Axial slice, Brain, Slice 83/155
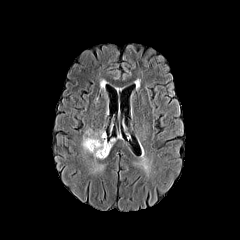
FLAIR MR.
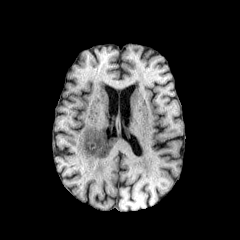
Same slice, T1-weighted magnetic resonance.
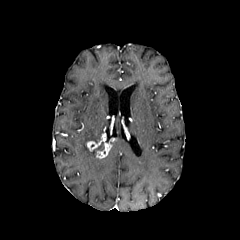
Same slice, post-contrast T1-weighted MR image.
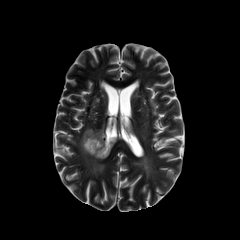
T2-weighted magnetic resonance of the same slice.
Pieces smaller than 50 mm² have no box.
- necrotic tumor core: bbox=[93, 142, 104, 152]
- peritumoral edema: bbox=[94, 163, 106, 172]; bbox=[82, 129, 102, 160]
- enhancing tumor: bbox=[86, 133, 114, 158]